FLAIR MRI.
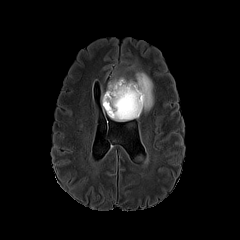
T1-weighted MRI.
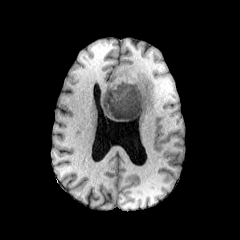
Post-contrast T1-weighted MR image.
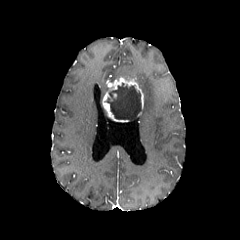
T2-weighted MRI.
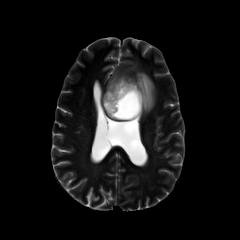
Head.
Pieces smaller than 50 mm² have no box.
peritumoral edema: left=136, top=72, right=153, bottom=112 | enhancing tumor: left=102, top=77, right=143, bottom=122 | necrotic tumor core: left=105, top=83, right=141, bottom=121